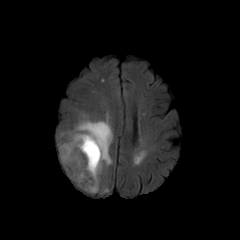
FLAIR magnetic resonance.
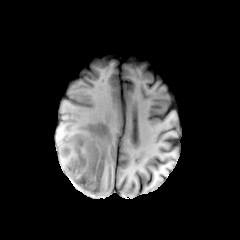
T1-weighted MRI of the same slice.
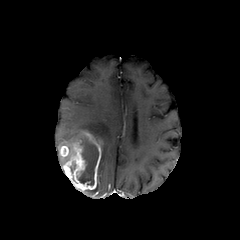
Post-contrast T1-weighted MRI.
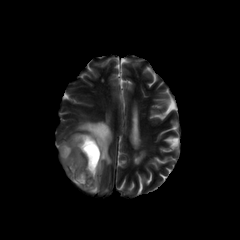
T2-weighted MR.
240x240; Head; Axial slice
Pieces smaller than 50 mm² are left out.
- necrotic tumor core: left=78, top=139, right=98, bottom=185
- enhancing tumor: left=62, top=131, right=102, bottom=191; left=60, top=145, right=69, bottom=157
- peritumoral edema: left=58, top=114, right=113, bottom=193